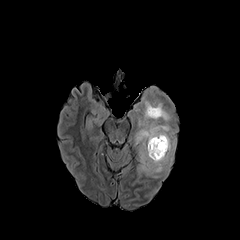
FLAIR MR.
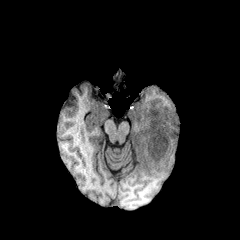
T1-weighted magnetic resonance.
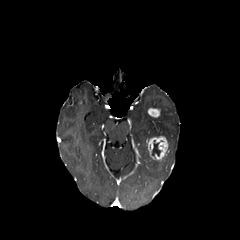
Post-contrast T1-weighted MR.
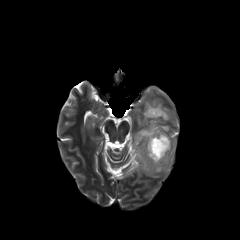
T2-weighted MRI of the same slice.
Brain.
Annotated regions:
- enhancing tumor: 148,108,160,117; 147,136,168,160
- necrotic tumor core: 152,140,160,155
- peritumoral edema: 134,86,176,198